Axial plane; Image covers 240 mm x 240 mm; Image size 240x240; Slice index 41; Head
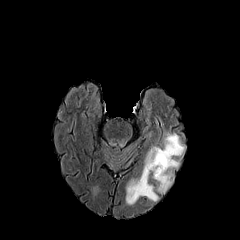
FLAIR MRI.
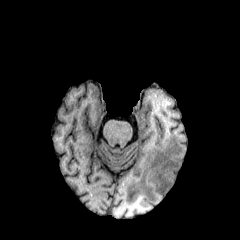
Same slice, T1-weighted MR.
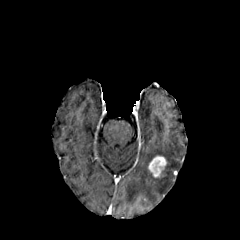
Post-contrast T1-weighted magnetic resonance of the same slice.
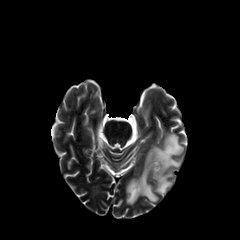
T2-weighted magnetic resonance of the same slice.
enhancing_tumor:
  - bbox(148, 156, 167, 177)
peritumoral_edema:
  - bbox(126, 133, 184, 204)